240x240, Axial plane, Slice 80/155
FLAIR magnetic resonance.
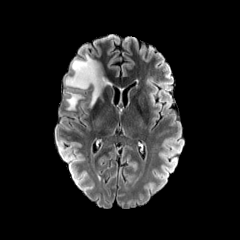
T1-weighted magnetic resonance.
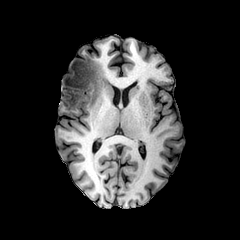
Post-contrast T1-weighted MRI.
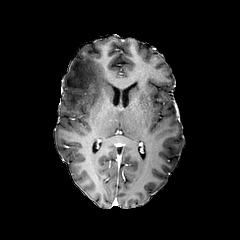
T2-weighted MR.
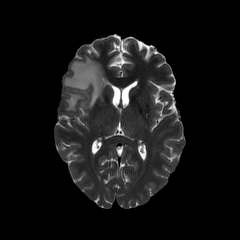
Findings:
• peritumoral edema: [64, 54, 106, 107], [66, 92, 83, 110]